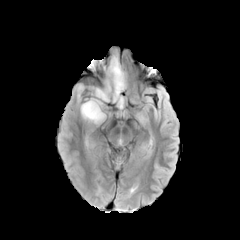
FLAIR MRI.
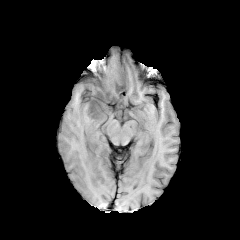
T1-weighted MR.
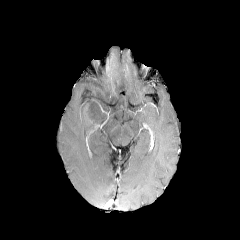
Post-contrast T1-weighted MR.
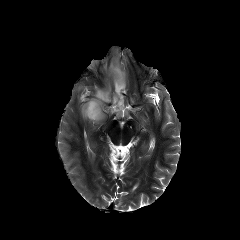
T2-weighted MR image.
Head, Image size 240x240
peritumoral edema = 80, 48, 125, 123